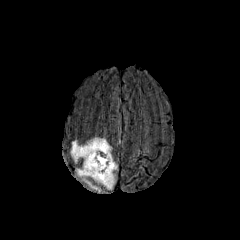
FLAIR MR.
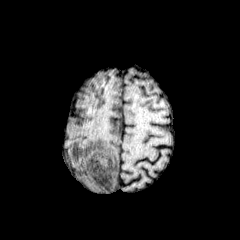
Same slice, T1-weighted MR.
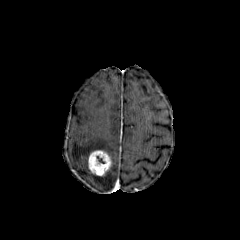
Post-contrast T1-weighted magnetic resonance of the same slice.
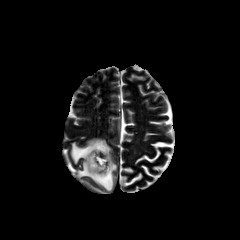
T2-weighted MR image.
Axial plane
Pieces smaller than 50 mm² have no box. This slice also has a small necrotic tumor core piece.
enhancing_tumor:
  - (x1=88, y1=150, x2=112, y2=176)
peritumoral_edema:
  - (x1=71, y1=137, x2=117, y2=191)